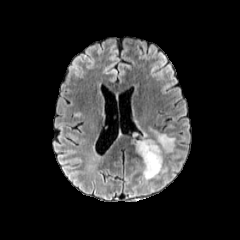
FLAIR MR.
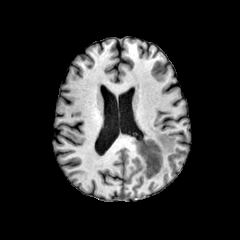
T1-weighted MR.
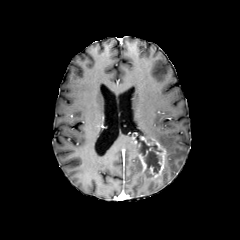
Post-contrast T1-weighted MRI of the same slice.
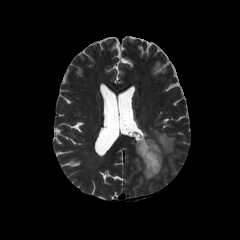
Same slice, T2-weighted magnetic resonance.
Brain
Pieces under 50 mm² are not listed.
necrotic tumor core: 141:141:161:176 | peritumoral edema: 149:127:175:153 | enhancing tumor: 138:136:166:178